Brain | Image size 240x240
FLAIR MR.
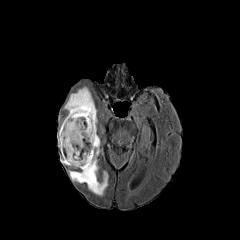
T1-weighted MR image.
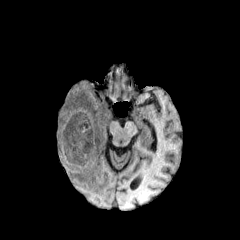
Post-contrast T1-weighted MR.
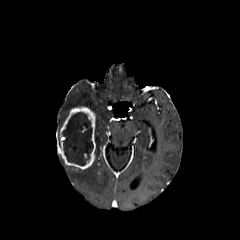
T2-weighted magnetic resonance.
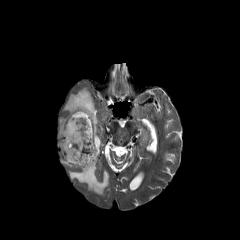
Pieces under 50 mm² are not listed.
peritumoral edema: rect(64, 87, 108, 195) | enhancing tumor: rect(60, 106, 95, 169) | necrotic tumor core: rect(62, 112, 93, 165)